FLAIR magnetic resonance.
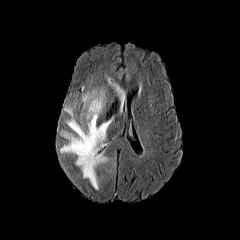
T1-weighted MR image.
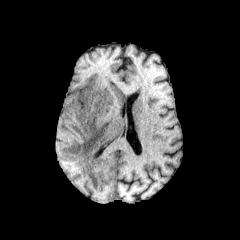
Post-contrast T1-weighted MRI.
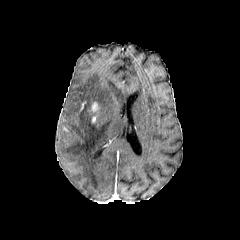
T2-weighted MR image.
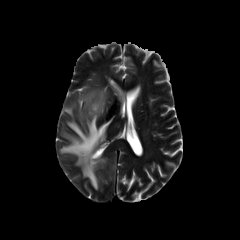
240x240 px.
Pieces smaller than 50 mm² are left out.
<segmentation>
  <enhancing_tumor>left=89, top=102, right=99, bottom=123</enhancing_tumor>
  <peritumoral_edema>left=108, top=77, right=125, bottom=108; left=60, top=87, right=113, bottom=189</peritumoral_edema>
</segmentation>